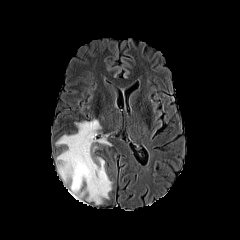
FLAIR MR image.
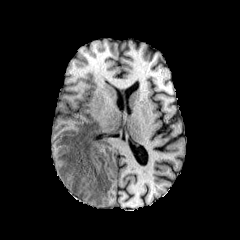
Same slice, T1-weighted MR image.
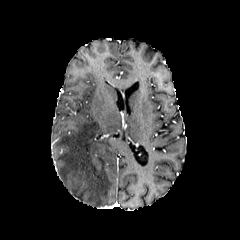
Post-contrast T1-weighted MR.
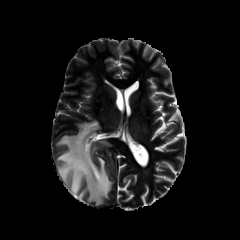
Same slice, T2-weighted MRI.
Head
The peritumoral edema is located at bbox(56, 119, 112, 204).